Head; Image size 240x240
FLAIR MR.
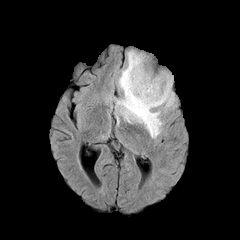
T1-weighted MR image.
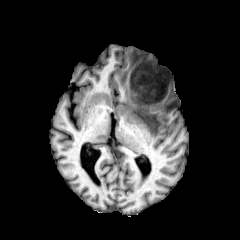
Post-contrast T1-weighted MRI.
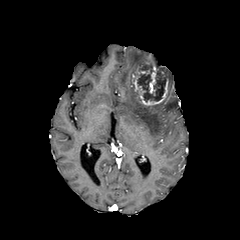
T2-weighted MR image.
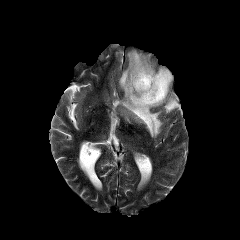
Segmented structures:
• necrotic tumor core: [137, 62, 165, 101]
• peritumoral edema: [116, 50, 176, 138]
• enhancing tumor: [132, 54, 169, 105]